FLAIR MR.
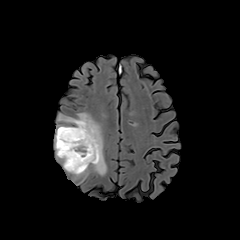
T1-weighted MR image.
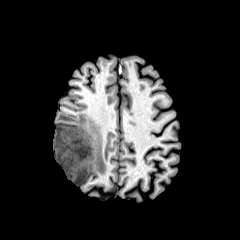
Post-contrast T1-weighted MR image.
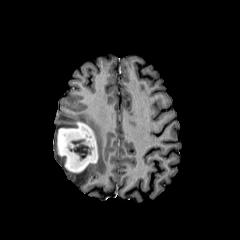
T2-weighted MR image.
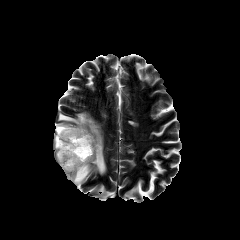
Image size 240x240.
Findings:
- peritumoral edema: <bbox>54, 112, 106, 184</bbox>
- enhancing tumor: <bbox>57, 122, 98, 172</bbox>
- necrotic tumor core: <bbox>69, 139, 91, 159</bbox>